240x240; Head
FLAIR MR.
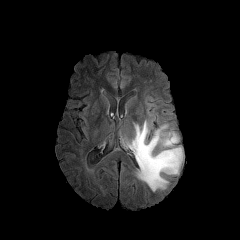
T1-weighted MR image.
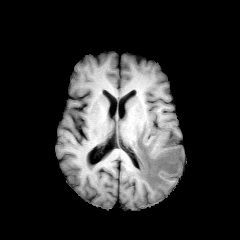
Post-contrast T1-weighted magnetic resonance.
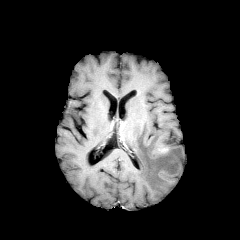
T2-weighted MR.
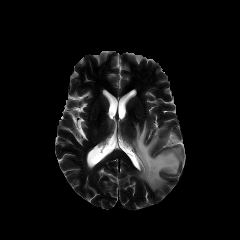
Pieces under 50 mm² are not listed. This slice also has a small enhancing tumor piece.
peritumoral_edema:
  - box(128, 121, 183, 191)